FLAIR magnetic resonance.
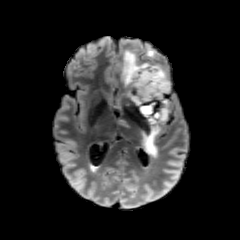
T1-weighted MR image.
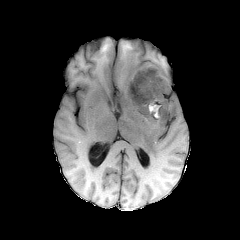
Post-contrast T1-weighted MR image.
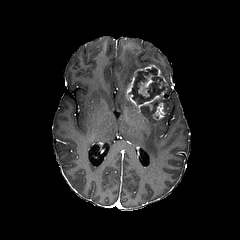
T2-weighted MR.
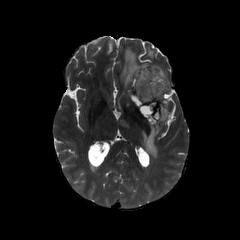
Axial plane.
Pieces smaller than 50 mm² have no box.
2 necrotic tumor core regions are located at (128,67,164,104), (141,105,155,123). The 2 largest enhancing tumor regions are located at (126,64,167,122), (138,74,153,96). 4 peritumoral edema regions are bounded by (142,99,168,156), (155,64,169,90), (121,48,151,86), (146,46,155,58).